Axial view | Image width 240 mm | Head | 240x240
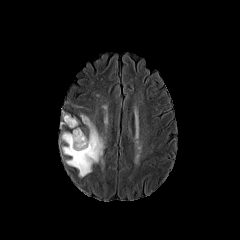
FLAIR MR image.
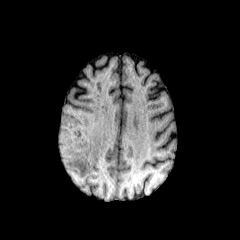
T1-weighted magnetic resonance.
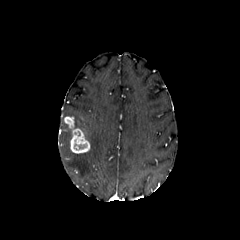
Post-contrast T1-weighted magnetic resonance.
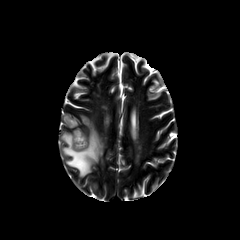
T2-weighted magnetic resonance.
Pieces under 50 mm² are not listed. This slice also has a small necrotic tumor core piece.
enhancing tumor at rect(64, 116, 90, 153)
peritumoral edema at rect(61, 114, 104, 177)